Slice index 69 | Axial view
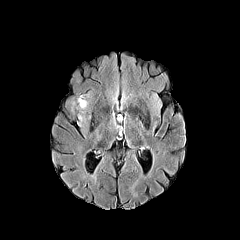
FLAIR MR image.
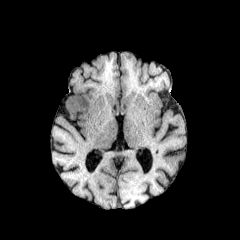
Same slice, T1-weighted magnetic resonance.
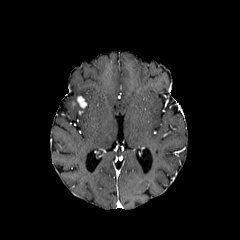
Post-contrast T1-weighted MRI.
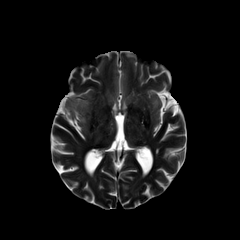
T2-weighted magnetic resonance.
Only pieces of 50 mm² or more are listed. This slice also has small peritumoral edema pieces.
The largest enhancing tumor region is at <box>77,96,86,108</box>.